Brain, Image size 240x240
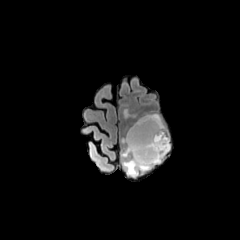
FLAIR magnetic resonance.
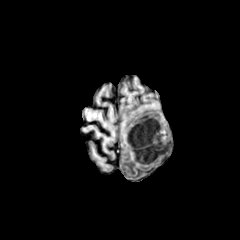
T1-weighted MRI.
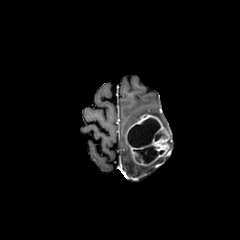
Post-contrast T1-weighted magnetic resonance of the same slice.
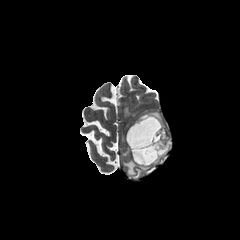
T2-weighted magnetic resonance of the same slice.
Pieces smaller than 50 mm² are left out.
necrotic tumor core: (x1=127, y1=118, x2=165, y2=147), (x1=133, y1=146, x2=163, y2=163)
enhancing tumor: (x1=125, y1=114, x2=170, y2=165)
peritumoral edema: (x1=121, y1=145, x2=163, y2=176)